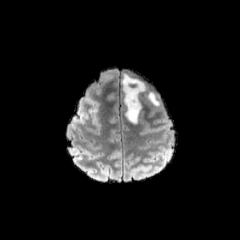
FLAIR magnetic resonance.
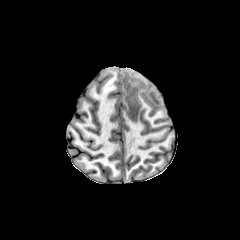
T1-weighted magnetic resonance of the same slice.
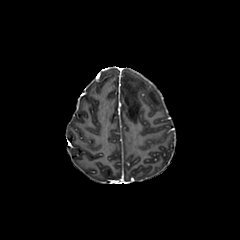
Same slice, post-contrast T1-weighted MR image.
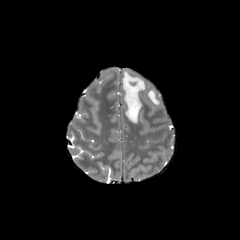
T2-weighted MR of the same slice.
Image size 240x240
peritumoral edema: bounding box bbox=[148, 92, 159, 105]; bbox=[122, 73, 145, 123]